FLAIR magnetic resonance.
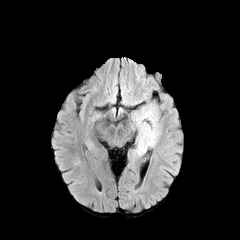
T1-weighted MRI.
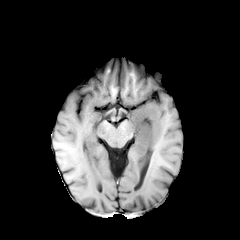
Post-contrast T1-weighted magnetic resonance.
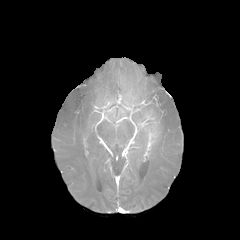
T2-weighted MRI.
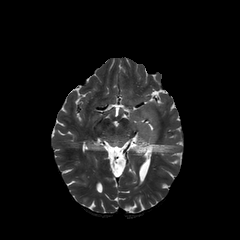
<segmentation>
  <enhancing_tumor>x1=133, y1=109, x2=159, y2=148</enhancing_tumor>
  <peritumoral_edema>x1=133, y1=132, x2=148, y2=156; x1=132, y1=103, x2=161, y2=149</peritumoral_edema>
</segmentation>